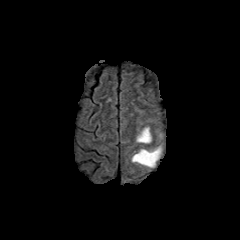
FLAIR magnetic resonance.
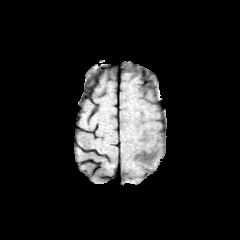
T1-weighted MR image of the same slice.
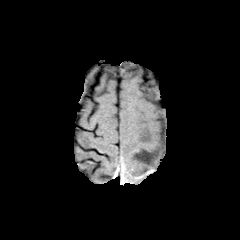
Post-contrast T1-weighted MRI.
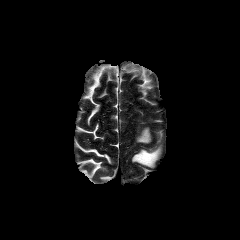
Same slice, T2-weighted MR.
Brain, 240x240
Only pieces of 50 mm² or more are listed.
{
  "peritumoral_edema": [
    "131,144,162,167",
    "136,127,151,143"
  ]
}